FLAIR magnetic resonance.
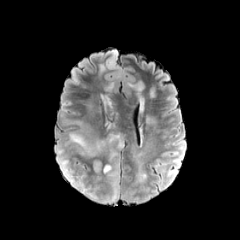
T1-weighted MR image.
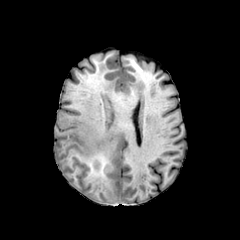
Post-contrast T1-weighted magnetic resonance.
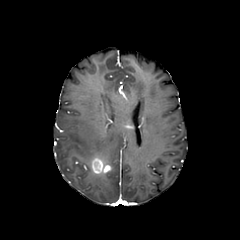
T2-weighted MR image.
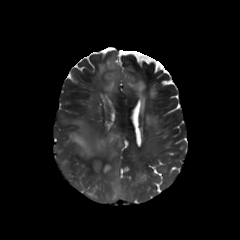
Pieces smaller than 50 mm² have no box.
Segmented structures:
* enhancing tumor: [92,157,111,173]
* peritumoral edema: [69,120,123,159], [137,173,145,181], [104,163,119,201], [58,158,73,181], [128,82,144,95]